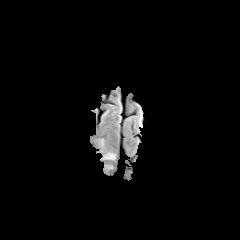
FLAIR MR image.
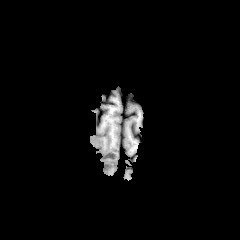
T1-weighted MR.
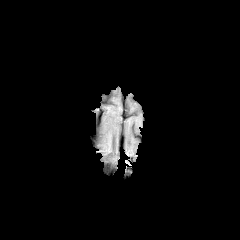
Post-contrast T1-weighted MR.
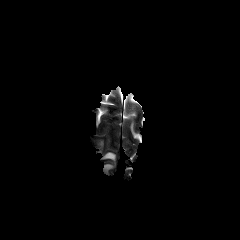
T2-weighted MR of the same slice.
Head; 240x240 px; Axial slice
<segmentation>
  <peritumoral_edema>(103,164,112,174), (102,152,115,160)</peritumoral_edema>
</segmentation>